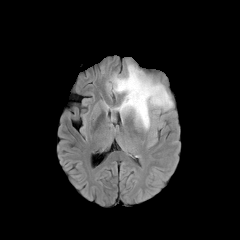
FLAIR MR image.
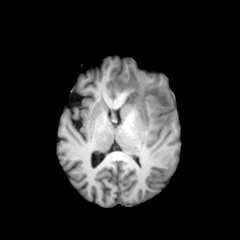
T1-weighted magnetic resonance of the same slice.
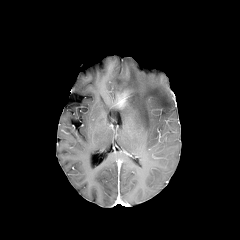
Post-contrast T1-weighted MR of the same slice.
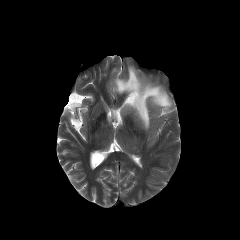
T2-weighted MRI.
Head; 240x240
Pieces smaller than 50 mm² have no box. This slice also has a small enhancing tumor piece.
Segmented structures:
- peritumoral edema: <box>112,65,172,130</box>